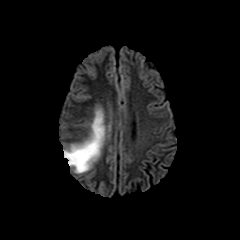
FLAIR MR.
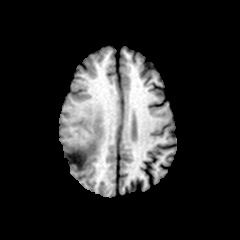
Same slice, T1-weighted MRI.
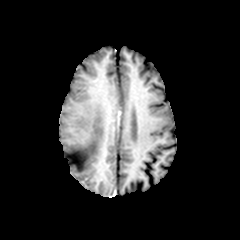
Same slice, post-contrast T1-weighted magnetic resonance.
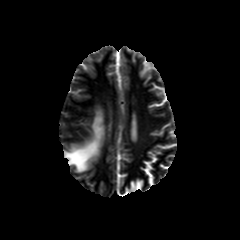
T2-weighted magnetic resonance of the same slice.
Image size 240x240. Axial slice.
The peritumoral edema is located at x1=64, y1=109, x2=104, y2=173.